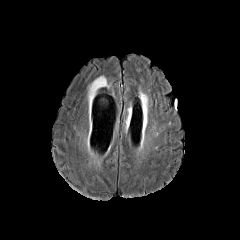
FLAIR MRI.
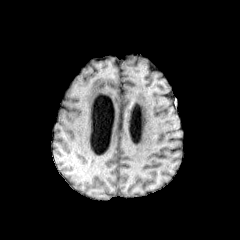
Same slice, T1-weighted MR image.
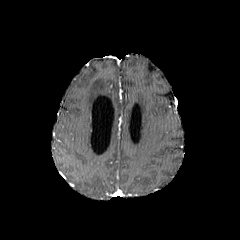
Post-contrast T1-weighted MR image of the same slice.
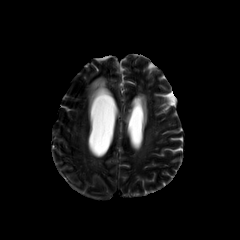
T2-weighted MR.
Head | Axial plane
The peritumoral edema is at x1=88 y1=76 x2=107 y2=101.